FLAIR magnetic resonance.
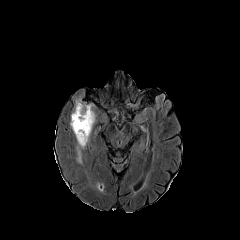
T1-weighted MR.
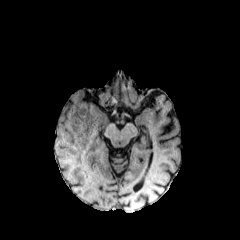
Post-contrast T1-weighted MR image.
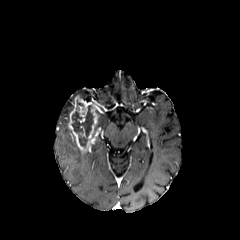
T2-weighted magnetic resonance.
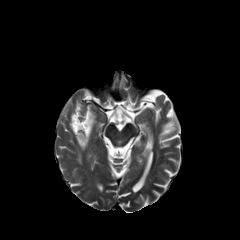
Head
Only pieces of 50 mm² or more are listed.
<segmentation>
  <enhancing_tumor>l=68, t=95, r=97, b=151</enhancing_tumor>
  <peritumoral_edema>l=76, t=146, r=81, b=163</peritumoral_edema>
  <necrotic_tumor_core>l=72, t=105, r=93, b=146</necrotic_tumor_core>
</segmentation>